240x240 px. Brain. Axial plane.
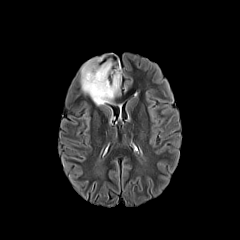
FLAIR MRI.
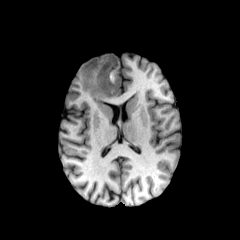
Same slice, T1-weighted MRI.
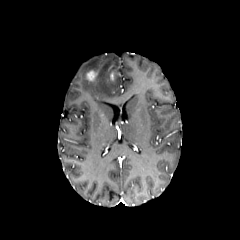
Post-contrast T1-weighted MRI of the same slice.
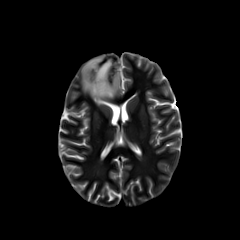
Same slice, T2-weighted MR.
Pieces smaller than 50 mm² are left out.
The largest enhancing tumor region lies within (86,70,97,81). The peritumoral edema appears at (80,55,121,105).